240x240 px; Brain; Slice 46/155; Axial plane
FLAIR MR.
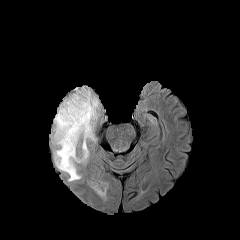
T1-weighted MR.
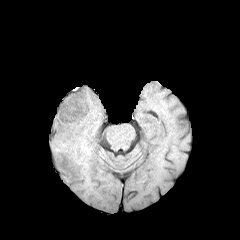
Post-contrast T1-weighted MR.
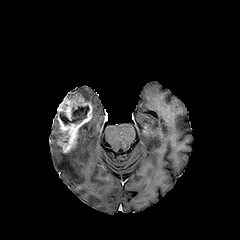
T2-weighted MRI.
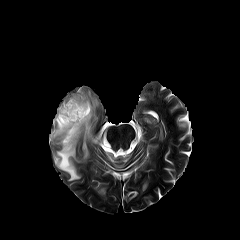
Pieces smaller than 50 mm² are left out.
The enhancing tumor is located at left=52, top=94, right=92, bottom=153. The 3 largest peritumoral edema regions appear at left=54, top=87, right=99, bottom=181; left=53, top=117, right=58, bottom=131; left=52, top=133, right=61, bottom=145. The largest necrotic tumor core region appears at left=60, top=106, right=89, bottom=124.